FLAIR MR.
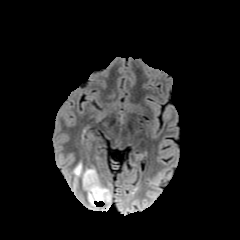
T1-weighted MR.
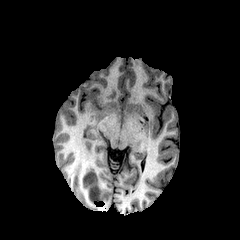
Post-contrast T1-weighted MR.
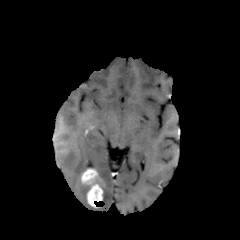
T2-weighted MRI.
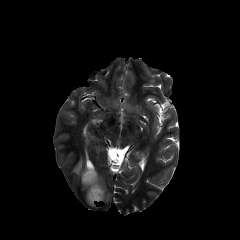
Brain, Axial slice
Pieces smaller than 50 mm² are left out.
Findings:
* peritumoral edema: (x1=99, y1=179, x2=111, y2=202), (x1=73, y1=161, x2=84, y2=176)
* enhancing tumor: (x1=81, y1=168, x2=103, y2=207)